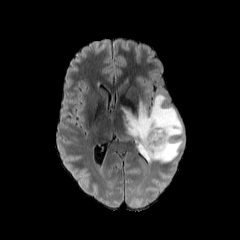
FLAIR magnetic resonance.
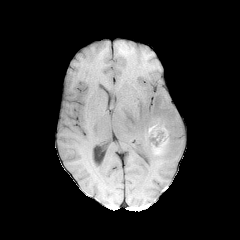
T1-weighted MRI.
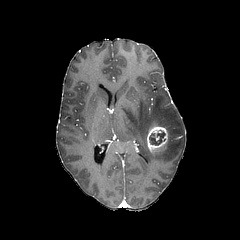
Post-contrast T1-weighted magnetic resonance.
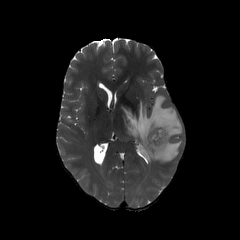
T2-weighted MR of the same slice.
Axial view
The enhancing tumor is at (x1=146, y1=126, x2=168, y2=152). The peritumoral edema is at (x1=124, y1=94, x2=183, y2=162). The necrotic tumor core lies within (x1=149, y1=131, x2=165, y2=145).